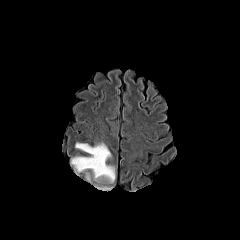
FLAIR magnetic resonance.
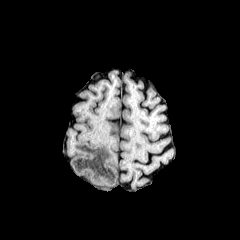
T1-weighted MRI of the same slice.
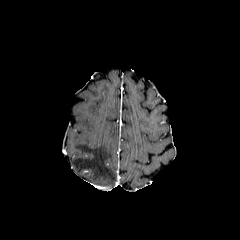
Post-contrast T1-weighted magnetic resonance.
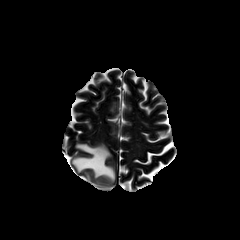
T2-weighted magnetic resonance of the same slice.
Head.
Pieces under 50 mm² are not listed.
peritumoral_edema:
  - rect(71, 143, 115, 183)